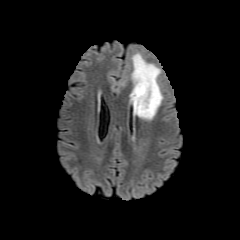
FLAIR MR.
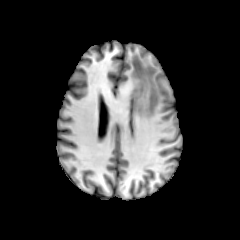
T1-weighted MRI.
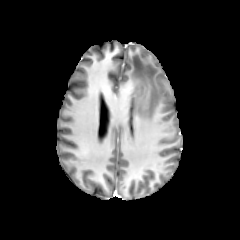
Post-contrast T1-weighted MR.
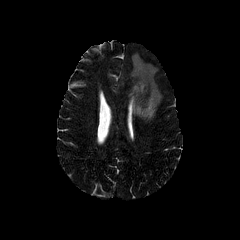
T2-weighted MRI.
- peritumoral edema: (left=130, top=53, right=162, bottom=120)